FLAIR MR.
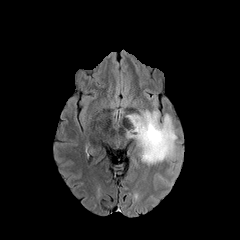
T1-weighted MR.
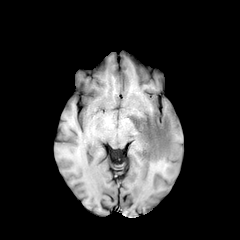
Post-contrast T1-weighted MR image.
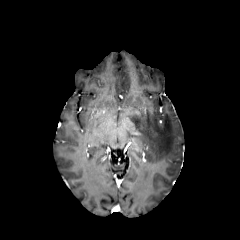
T2-weighted MR.
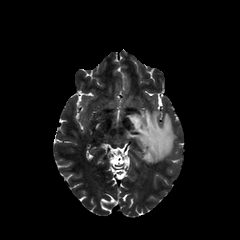
Axial plane; Brain
The peritumoral edema appears at (127,110,176,163).